Axial view | Image width 240 mm | Slice index 71 | Brain
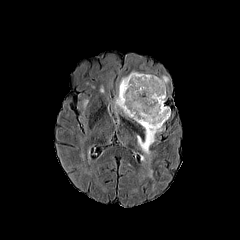
FLAIR magnetic resonance.
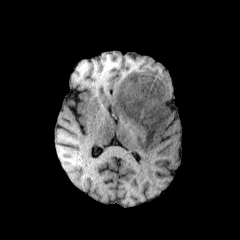
T1-weighted MRI.
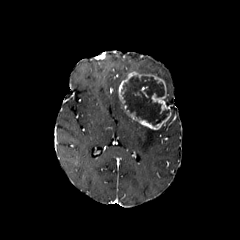
Same slice, post-contrast T1-weighted MR image.
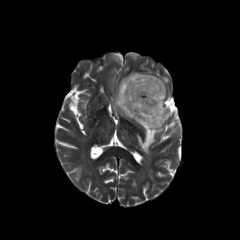
Same slice, T2-weighted magnetic resonance.
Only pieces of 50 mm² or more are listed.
Annotated regions:
* enhancing tumor: {"x1": 118, "y1": 71, "x2": 171, "y2": 129}
* necrotic tumor core: {"x1": 122, "y1": 76, "x2": 169, "y2": 125}
* peritumoral edema: {"x1": 114, "y1": 90, "x2": 126, "y2": 115}, {"x1": 137, "y1": 127, "x2": 162, "y2": 154}